Head
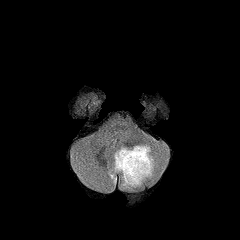
FLAIR magnetic resonance.
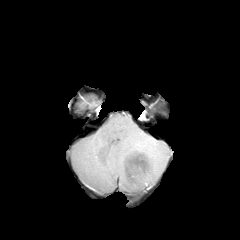
Same slice, T1-weighted MRI.
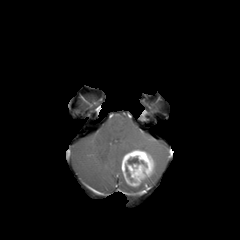
Same slice, post-contrast T1-weighted MRI.
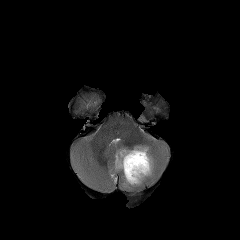
Same slice, T2-weighted MR image.
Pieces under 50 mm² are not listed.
The largest necrotic tumor core region is located at [127,157,139,164]. The peritumoral edema is at [108,144,158,190]. The enhancing tumor is located at [121,150,154,186].